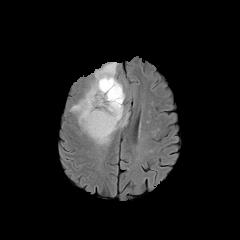
FLAIR MR.
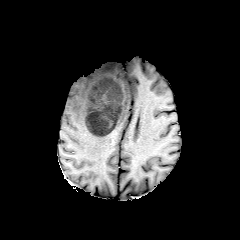
Same slice, T1-weighted magnetic resonance.
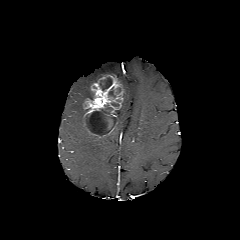
Same slice, post-contrast T1-weighted MR.
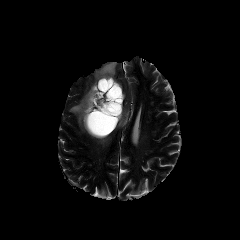
T2-weighted MR of the same slice.
Axial view, 240x240 px, Brain
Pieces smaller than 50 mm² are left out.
Segmented structures:
• peritumoral edema: (70, 62, 128, 145)
• necrotic tumor core: (85, 105, 116, 135), (108, 87, 115, 97), (99, 77, 112, 90)
• enhancing tumor: (84, 74, 123, 138)